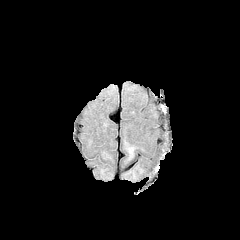
FLAIR MRI.
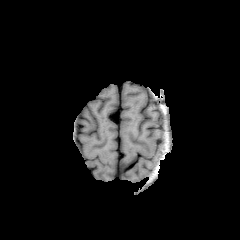
T1-weighted MR image.
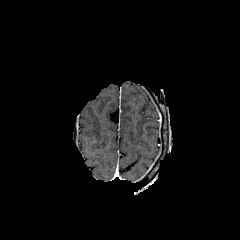
Post-contrast T1-weighted MR.
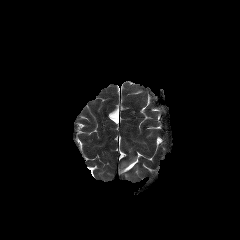
Same slice, T2-weighted MR.
Axial plane. Brain.
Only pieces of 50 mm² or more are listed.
The largest peritumoral edema region lies within 125,142,135,159.